Slice 109/155. Axial slice. 240x240 px. Head.
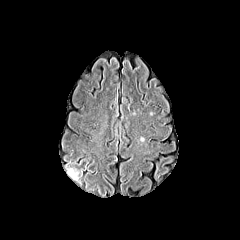
FLAIR MR image.
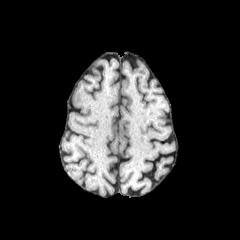
Same slice, T1-weighted MR image.
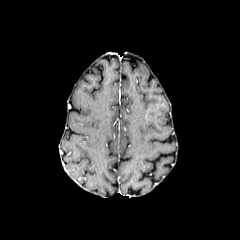
Same slice, post-contrast T1-weighted MR image.
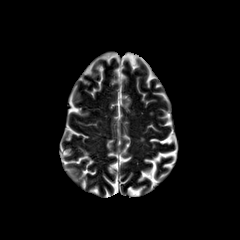
T2-weighted MRI.
peritumoral_edema:
  - <box>66,167,79,180</box>